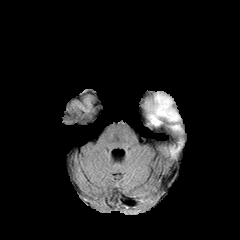
FLAIR MR.
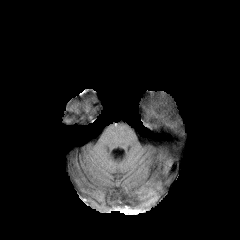
T1-weighted magnetic resonance.
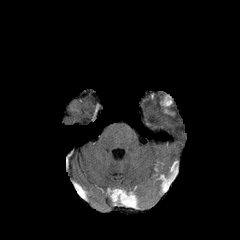
Post-contrast T1-weighted MR.
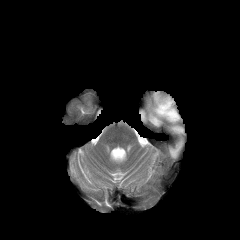
T2-weighted magnetic resonance.
Axial view.
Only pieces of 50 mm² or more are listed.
The enhancing tumor lies within (160, 94, 175, 115). The 2 largest peritumoral edema regions are bounded by (147, 93, 180, 125), (172, 124, 181, 131).